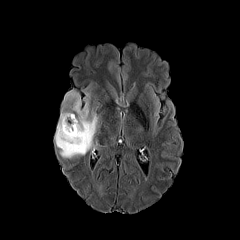
FLAIR MR.
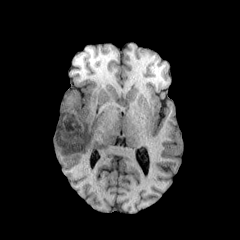
T1-weighted magnetic resonance of the same slice.
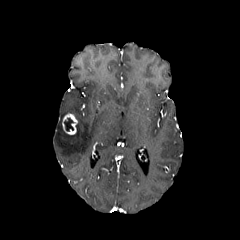
Post-contrast T1-weighted MRI.
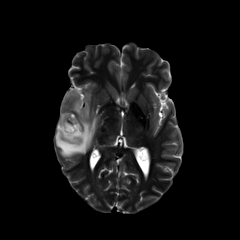
T2-weighted magnetic resonance.
Head
The peritumoral edema is bounded by 55 90 99 158. The necrotic tumor core appears at 64 118 73 131. The enhancing tumor appears at 62 113 77 134.